Axial view | Slice 116/155
FLAIR MR.
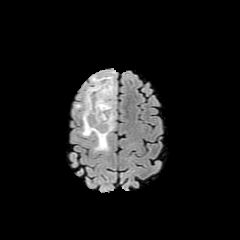
T1-weighted MR.
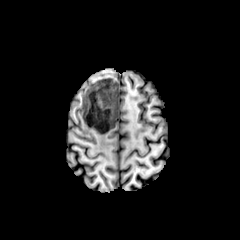
Post-contrast T1-weighted MR image.
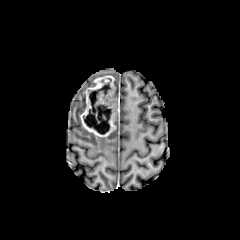
T2-weighted magnetic resonance.
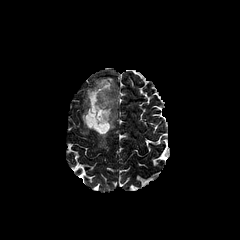
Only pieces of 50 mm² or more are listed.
Annotated regions:
* necrotic tumor core: {"x1": 83, "y1": 83, "x2": 111, "y2": 134}
* enhancing tumor: {"x1": 80, "y1": 76, "x2": 118, "y2": 136}
* peritumoral edema: {"x1": 94, "y1": 136, "x2": 108, "y2": 151}, {"x1": 75, "y1": 94, "x2": 85, "y2": 109}, {"x1": 81, "y1": 127, "x2": 93, "y2": 136}